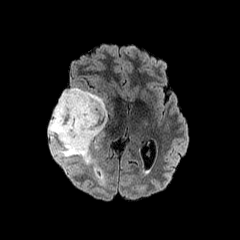
FLAIR MR image.
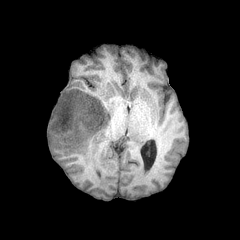
Same slice, T1-weighted MR image.
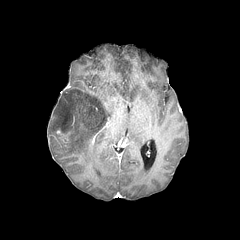
Post-contrast T1-weighted MRI.
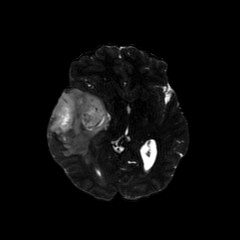
T2-weighted MR image.
Axial plane
The enhancing tumor is located at (left=55, top=129, right=69, bottom=142). The peritumoral edema lies within (left=48, top=87, right=107, bottom=164).